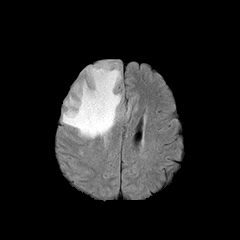
FLAIR MRI.
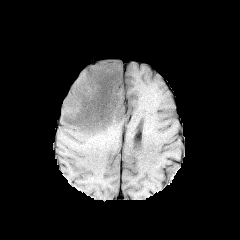
T1-weighted MR of the same slice.
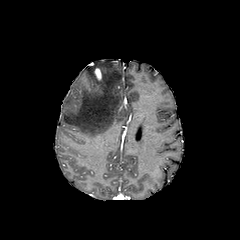
Post-contrast T1-weighted MR of the same slice.
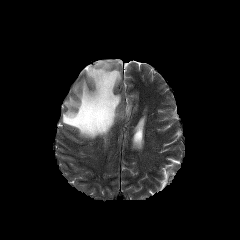
T2-weighted MR image of the same slice.
Axial plane
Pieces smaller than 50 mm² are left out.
peritumoral edema: <box>62,60,121,140</box> | enhancing tumor: <box>93,68,101,81</box>